Head
FLAIR MRI.
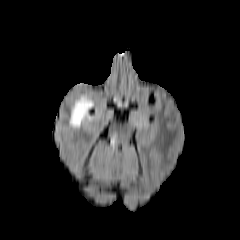
T1-weighted magnetic resonance.
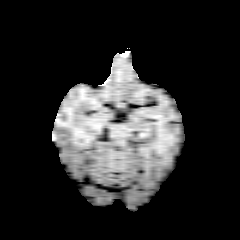
Post-contrast T1-weighted MR.
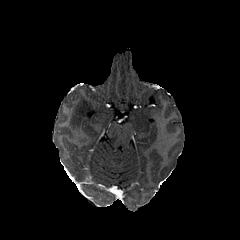
T2-weighted MR.
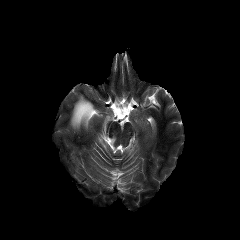
Findings:
- peritumoral edema: rect(70, 95, 93, 128)